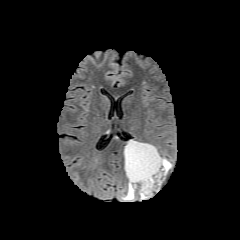
FLAIR MRI.
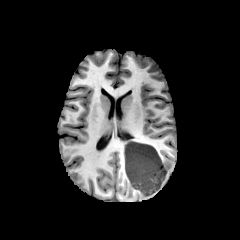
T1-weighted MR image.
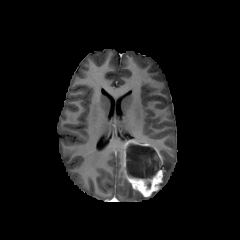
Post-contrast T1-weighted MR image.
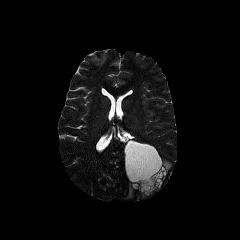
T2-weighted MR.
Axial plane.
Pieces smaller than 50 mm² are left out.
<segmentation>
  <necrotic_tumor_core>[x1=126, y1=144, x2=160, y2=178]</necrotic_tumor_core>
  <enhancing_tumor>[x1=124, y1=140, x2=164, y2=197]</enhancing_tumor>
  <peritumoral_edema>[x1=162, y1=158, x2=172, y2=180], [x1=122, y1=183, x2=136, y2=200]</peritumoral_edema>
</segmentation>